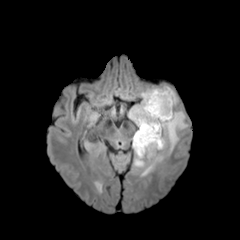
FLAIR MR image.
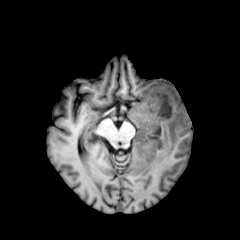
T1-weighted MRI of the same slice.
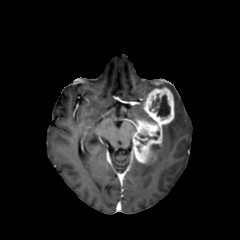
Post-contrast T1-weighted MRI.
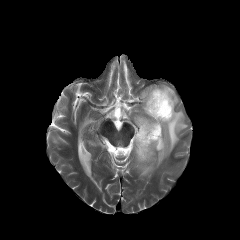
T2-weighted magnetic resonance of the same slice.
Head. Axial plane.
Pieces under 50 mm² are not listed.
The 2 largest necrotic tumor core regions are bounded by x1=139 y1=134 x2=157 y2=139, x1=152 y1=95 x2=169 y2=116. 2 peritumoral edema regions are located at x1=129 y1=85 x2=178 y2=124, x1=134 y1=110 x2=187 y2=176. The largest enhancing tumor region is bounded by x1=133 y1=87 x2=174 y2=163.